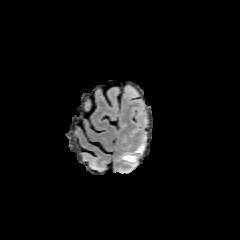
FLAIR magnetic resonance.
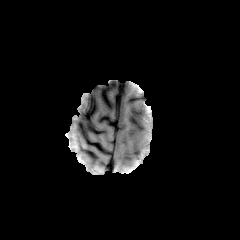
T1-weighted MR.
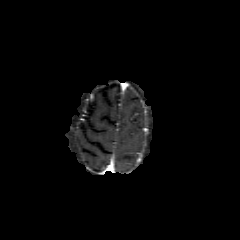
Same slice, post-contrast T1-weighted MRI.
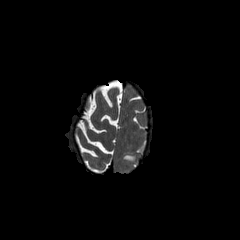
T2-weighted MRI.
Brain
peritumoral edema: bounding box (left=137, top=143, right=145, bottom=152), (left=122, top=154, right=136, bottom=161)